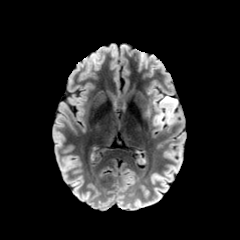
FLAIR MR image.
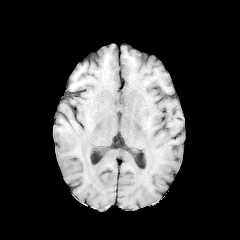
T1-weighted MR image of the same slice.
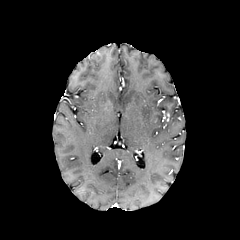
Post-contrast T1-weighted magnetic resonance of the same slice.
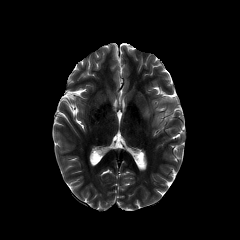
Same slice, T2-weighted magnetic resonance.
Brain
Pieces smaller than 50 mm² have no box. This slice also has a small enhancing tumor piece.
The largest peritumoral edema region is bounded by 152,96,177,128.